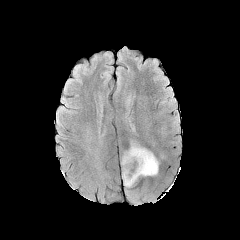
FLAIR MR.
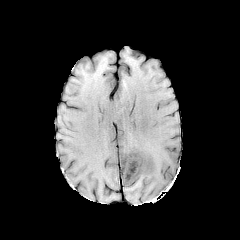
T1-weighted MR image of the same slice.
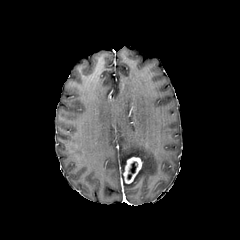
Post-contrast T1-weighted MRI of the same slice.
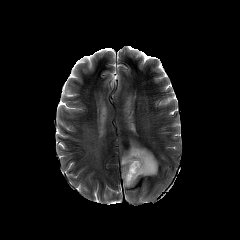
T2-weighted MRI of the same slice.
Axial view
{"necrotic_tumor_core": ["127:162:137:179"], "enhancing_tumor": ["123:157:142:183"], "peritumoral_edema": ["121:141:158:187"]}